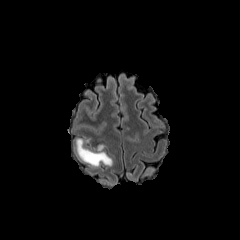
FLAIR magnetic resonance.
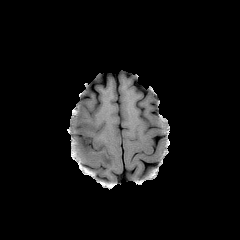
T1-weighted magnetic resonance of the same slice.
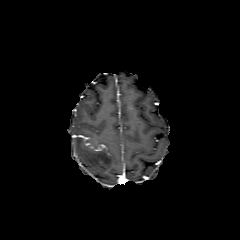
Same slice, post-contrast T1-weighted magnetic resonance.
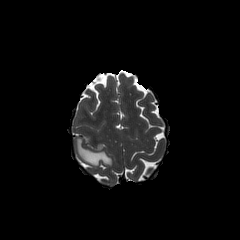
T2-weighted magnetic resonance of the same slice.
Axial view | Head
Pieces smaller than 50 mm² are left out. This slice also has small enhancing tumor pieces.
peritumoral edema at 75 136 112 166